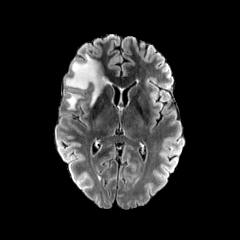
FLAIR magnetic resonance.
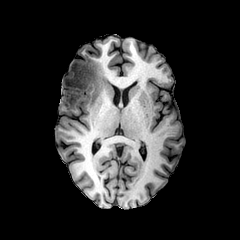
T1-weighted MRI.
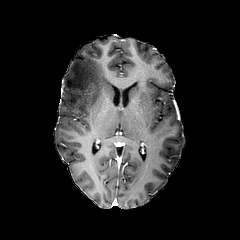
Same slice, post-contrast T1-weighted MRI.
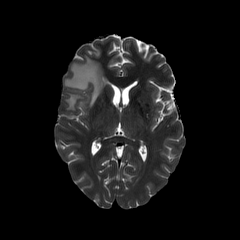
Same slice, T2-weighted MR image.
2 peritumoral edema regions are bounded by 65,54,106,106; 66,93,81,109.